Brain, Axial view
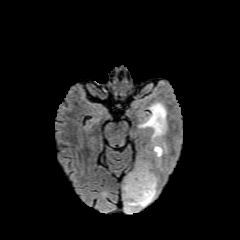
FLAIR MR.
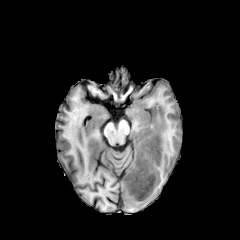
Same slice, T1-weighted MR image.
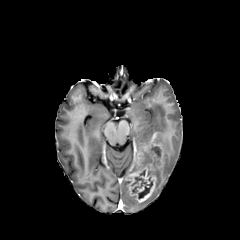
Same slice, post-contrast T1-weighted MR.
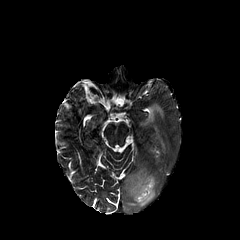
T2-weighted MRI.
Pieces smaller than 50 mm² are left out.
peritumoral edema: bounding box {"x1": 139, "y1": 103, "x2": 166, "y2": 153}, {"x1": 123, "y1": 178, "x2": 157, "y2": 212}
enhancing tumor: bounding box {"x1": 125, "y1": 152, "x2": 156, "y2": 202}, {"x1": 143, "y1": 132, "x2": 162, "y2": 157}
necrotic tumor core: bounding box {"x1": 150, "y1": 145, "x2": 160, "y2": 157}, {"x1": 131, "y1": 170, "x2": 152, "y2": 198}